FLAIR magnetic resonance.
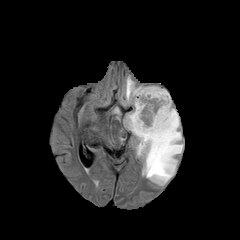
T1-weighted MR image.
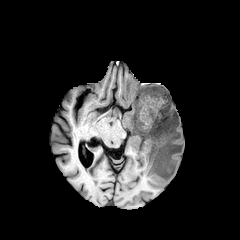
Post-contrast T1-weighted MRI.
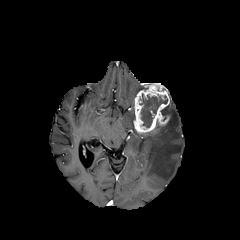
T2-weighted MR image.
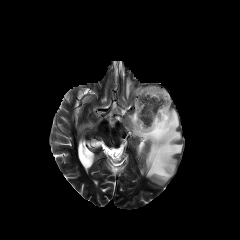
Head
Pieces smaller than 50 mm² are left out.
The 2 largest peritumoral edema regions appear at left=126, top=101, right=183, bottom=185; left=125, top=77, right=143, bottom=102. The enhancing tumor lies within left=133, top=83, right=170, bottom=134. The necrotic tumor core lies within left=140, top=95, right=166, bottom=127.